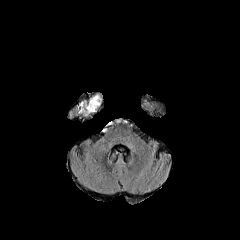
FLAIR magnetic resonance.
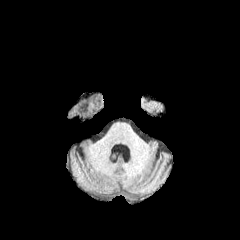
T1-weighted MR image.
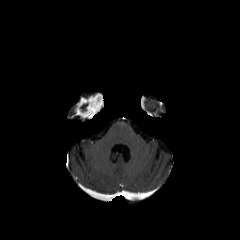
Post-contrast T1-weighted MRI.
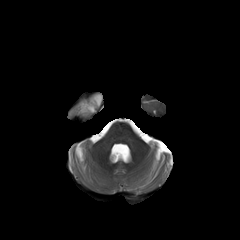
T2-weighted magnetic resonance of the same slice.
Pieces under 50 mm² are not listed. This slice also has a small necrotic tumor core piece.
enhancing tumor: left=75, top=93, right=103, bottom=118